FLAIR MR image.
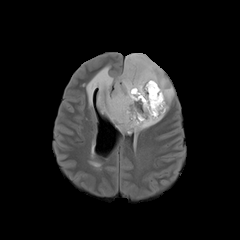
T1-weighted MR image.
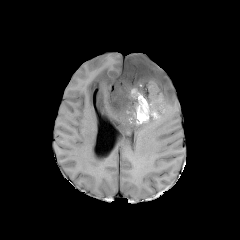
Post-contrast T1-weighted magnetic resonance.
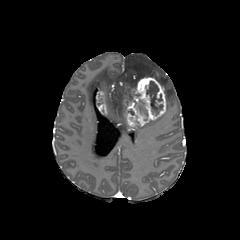
T2-weighted magnetic resonance.
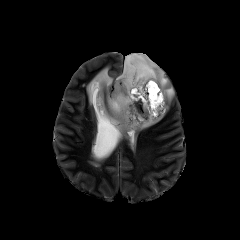
Head | Axial plane
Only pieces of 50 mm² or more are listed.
enhancing tumor: l=123, t=76, r=166, b=130; l=97, t=91, r=107, b=114
peritumoral edema: l=86, t=53, r=174, b=133; l=134, t=112, r=165, b=133
necrotic tumor core: l=136, t=100, r=147, b=120; l=146, t=81, r=162, b=115